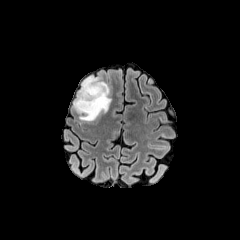
FLAIR MRI.
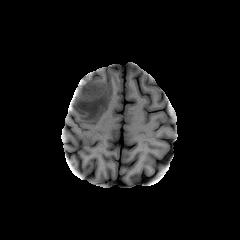
Same slice, T1-weighted MRI.
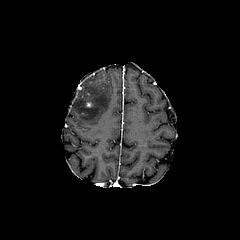
Same slice, post-contrast T1-weighted MRI.
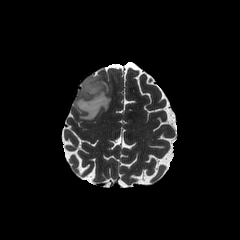
T2-weighted MRI.
Axial plane
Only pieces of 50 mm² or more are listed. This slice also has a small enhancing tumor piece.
<segmentation>
  <peritumoral_edema>(73, 75, 111, 121)</peritumoral_edema>
</segmentation>